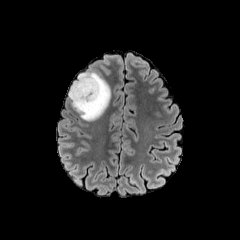
FLAIR MR image.
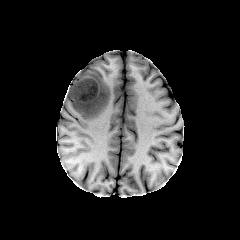
Same slice, T1-weighted magnetic resonance.
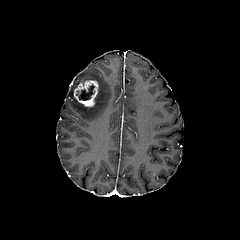
Post-contrast T1-weighted MR of the same slice.
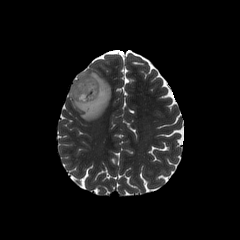
T2-weighted magnetic resonance of the same slice.
Head
necrotic tumor core: <box>76,85,94,100</box> | enhancing tumor: <box>73,80,98,107</box> | peritumoral edema: <box>68,71,110,121</box>